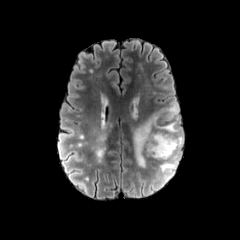
FLAIR MR.
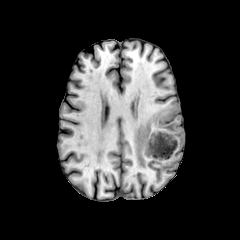
T1-weighted MR.
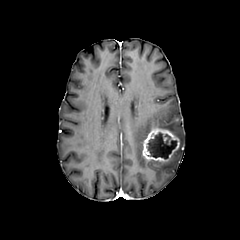
Post-contrast T1-weighted MRI.
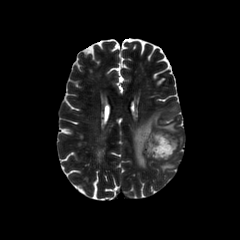
T2-weighted MRI.
240x240 px
Findings:
- peritumoral edema: [133,101,183,171]
- necrotic tumor core: [146,132,176,158]
- enhancing tumor: [142,129,179,161]